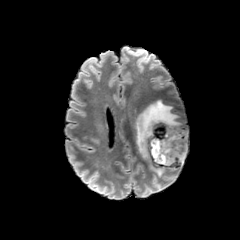
FLAIR MR image.
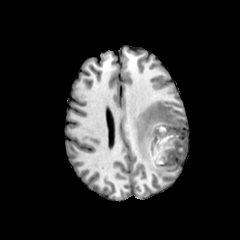
T1-weighted MR.
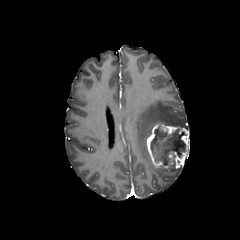
Post-contrast T1-weighted MRI of the same slice.
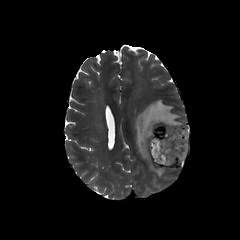
T2-weighted MR.
Axial view
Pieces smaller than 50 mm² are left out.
The enhancing tumor appears at [146,124,189,168]. The largest necrotic tumor core region is bounded by [150,127,185,166]. The 2 largest peritumoral edema regions appear at [150,165,165,176], [134,99,188,159].